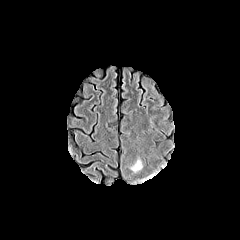
FLAIR MR image.
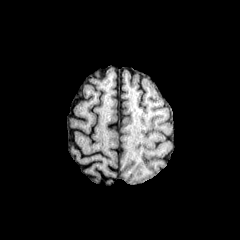
T1-weighted MR of the same slice.
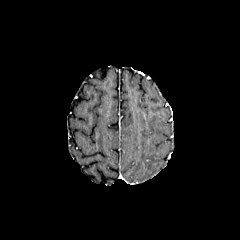
Post-contrast T1-weighted MR.
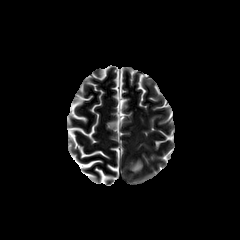
Same slice, T2-weighted MR.
Axial plane
The peritumoral edema is bounded by bbox(131, 160, 142, 171).